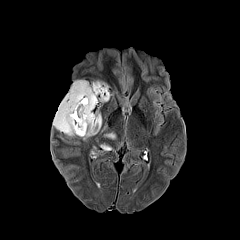
FLAIR MR.
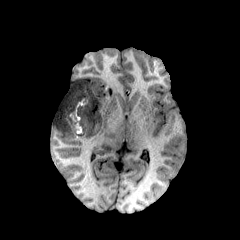
Same slice, T1-weighted MR.
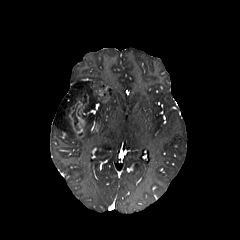
Same slice, post-contrast T1-weighted magnetic resonance.
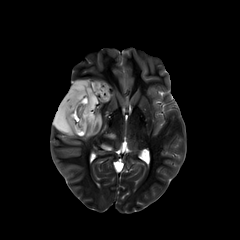
T2-weighted MR image of the same slice.
Axial slice. Brain.
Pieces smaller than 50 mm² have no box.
Segmented structures:
• peritumoral edema: rect(95, 111, 101, 130); rect(53, 80, 100, 137); rect(100, 144, 111, 150); rect(82, 130, 97, 140)
• enhancing tumor: rect(74, 99, 88, 114); rect(68, 108, 85, 137); rect(95, 86, 109, 96)
• necrotic tumor core: rect(77, 89, 108, 134); rect(72, 103, 80, 130); rect(79, 96, 87, 104); rect(95, 83, 105, 89)